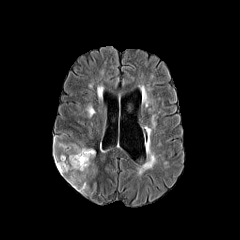
FLAIR MR image.
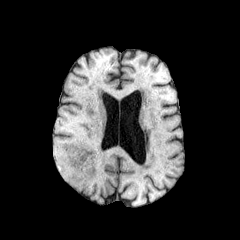
Same slice, T1-weighted MR image.
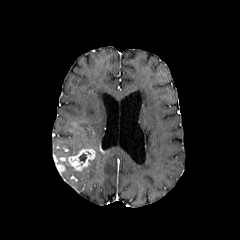
Post-contrast T1-weighted MR image of the same slice.
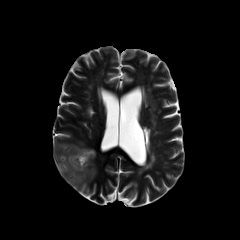
T2-weighted MRI.
Brain
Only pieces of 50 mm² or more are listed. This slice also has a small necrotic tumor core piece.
peritumoral edema: 54 137 85 164, 60 162 89 193
enhancing tumor: 56 148 95 172